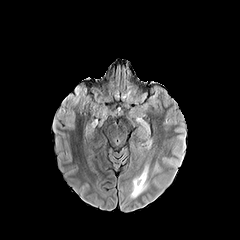
FLAIR MR image.
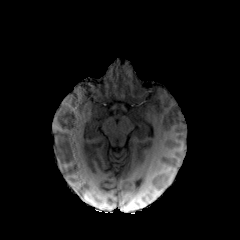
T1-weighted MR image.
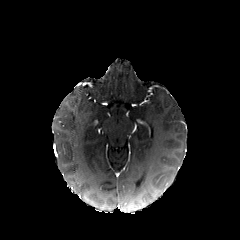
Post-contrast T1-weighted MRI.
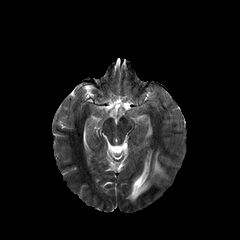
T2-weighted magnetic resonance of the same slice.
Head
peritumoral edema — 130 163 149 199, 153 160 162 173